FLAIR MR image.
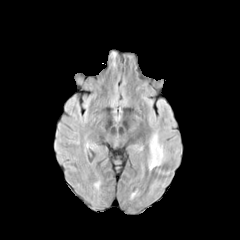
T1-weighted MRI.
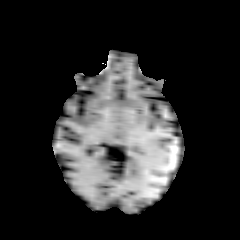
Post-contrast T1-weighted MR.
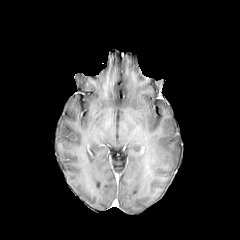
T2-weighted magnetic resonance.
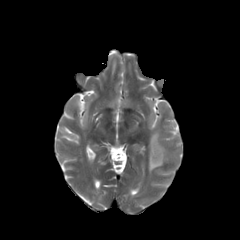
peritumoral edema: bounding box box=[149, 132, 165, 169]